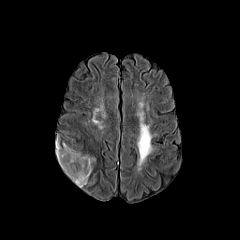
FLAIR MRI.
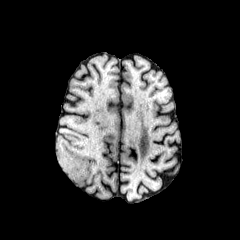
Same slice, T1-weighted MR.
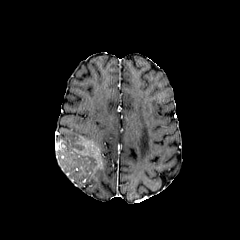
Post-contrast T1-weighted magnetic resonance.
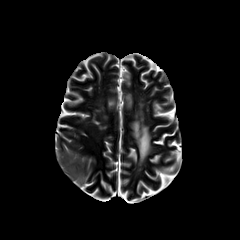
Same slice, T2-weighted magnetic resonance.
The peritumoral edema is located at <box>56,138,93,187</box>.